Slice 77 of 155. Axial plane. Head.
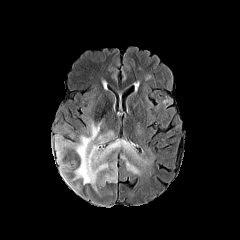
FLAIR magnetic resonance.
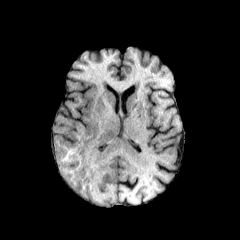
T1-weighted MR image of the same slice.
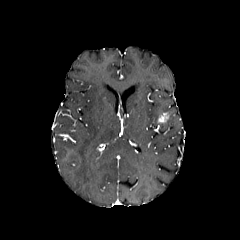
Same slice, post-contrast T1-weighted magnetic resonance.
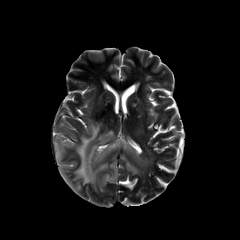
T2-weighted MR image.
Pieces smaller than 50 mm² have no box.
The 4 largest peritumoral edema regions are bounded by (x1=122, y1=156, x2=139, y2=174), (x1=55, y1=121, x2=148, y2=190), (x1=62, y1=165, x2=81, y2=192), (x1=101, y1=163, x2=117, y2=184). The enhancing tumor lies within (x1=158, y1=113, x2=168, y2=122).